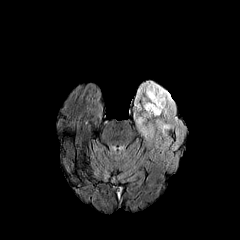
FLAIR MR image.
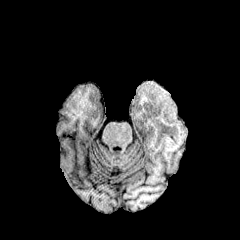
T1-weighted magnetic resonance of the same slice.
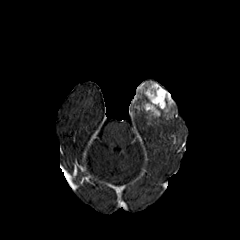
Post-contrast T1-weighted MR image of the same slice.
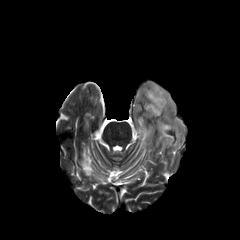
T2-weighted MRI.
Brain.
Annotated regions:
• peritumoral edema: <bbox>134, 108, 183, 146</bbox>
• enhancing tumor: <bbox>134, 81, 175, 119</bbox>